FLAIR magnetic resonance.
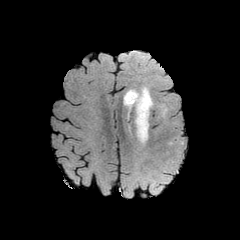
T1-weighted MR image.
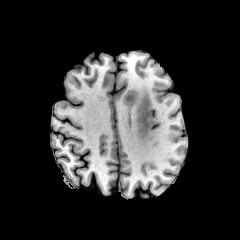
Post-contrast T1-weighted magnetic resonance.
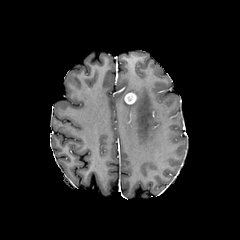
T2-weighted MRI.
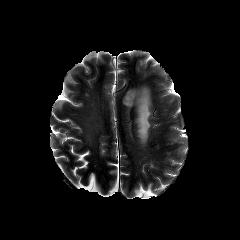
Axial view, Head
Findings:
• peritumoral edema: l=123, t=86, r=152, b=145
• enhancing tumor: l=124, t=92, r=136, b=104